Slice index 89; Axial plane; Head; Image covers 240 mm x 240 mm
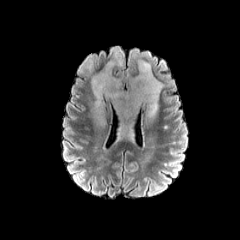
FLAIR magnetic resonance.
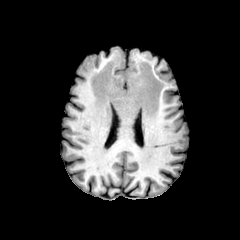
T1-weighted MRI of the same slice.
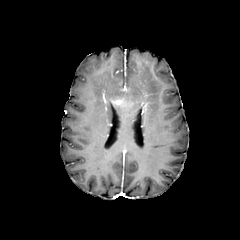
Post-contrast T1-weighted magnetic resonance of the same slice.
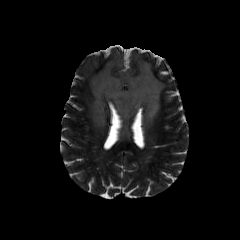
T2-weighted MRI of the same slice.
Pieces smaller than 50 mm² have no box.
peritumoral edema: bounding box <bbox>92, 60, 164, 139</bbox>
enhancing tumor: bounding box <bbox>114, 100, 125, 105</bbox>